FLAIR MRI.
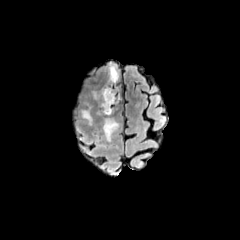
T1-weighted MR.
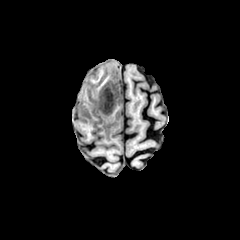
Post-contrast T1-weighted MRI.
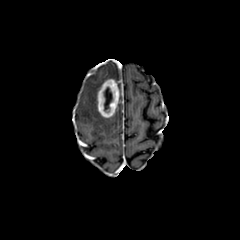
T2-weighted MRI.
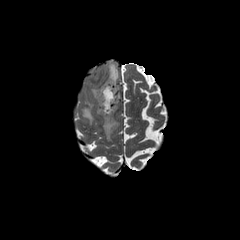
Head | 240x240
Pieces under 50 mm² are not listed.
necrotic tumor core — region(104, 87, 112, 111)
peritumoral edema — region(109, 63, 119, 81); region(82, 107, 92, 124); region(103, 117, 118, 141)
enhancing tumor — region(97, 79, 119, 117)